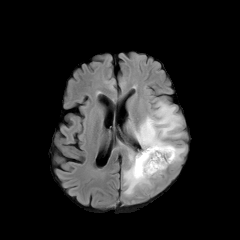
FLAIR magnetic resonance.
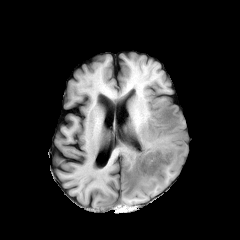
T1-weighted magnetic resonance of the same slice.
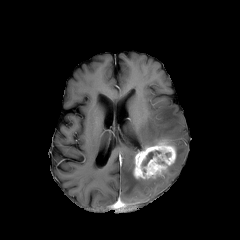
Post-contrast T1-weighted magnetic resonance of the same slice.
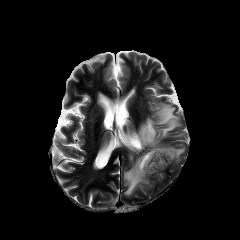
Same slice, T2-weighted MR.
240x240 px
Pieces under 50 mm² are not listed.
necrotic tumor core: bbox(143, 152, 153, 165)
peritumoral edema: bbox(133, 102, 183, 149); bbox(169, 143, 185, 162); bbox(123, 150, 152, 196)
enhancing tumor: bbox(133, 141, 176, 179)